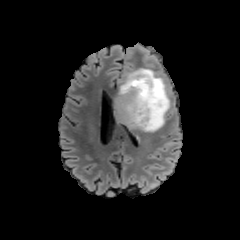
FLAIR MR.
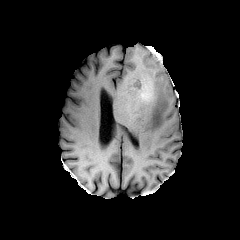
T1-weighted MR.
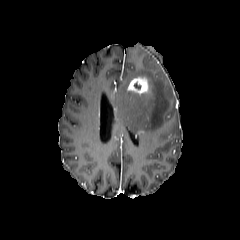
Same slice, post-contrast T1-weighted MR.
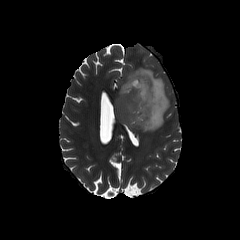
T2-weighted MR.
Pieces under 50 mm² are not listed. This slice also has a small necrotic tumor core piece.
peritumoral edema: (left=114, top=68, right=169, bottom=131)
enhancing tumor: (left=127, top=76, right=149, bottom=95)